Head, Slice 101/155
FLAIR MR image.
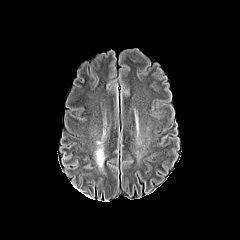
T1-weighted magnetic resonance.
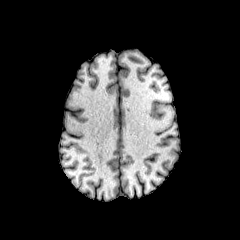
Post-contrast T1-weighted MR image.
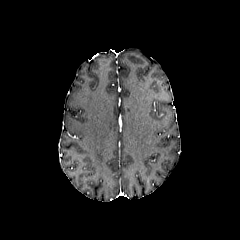
T2-weighted magnetic resonance.
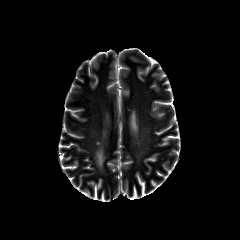
peritumoral_edema:
  - (95,148,104,168)